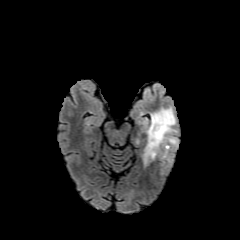
FLAIR MR image.
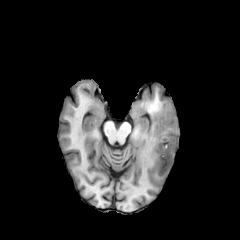
T1-weighted MR image of the same slice.
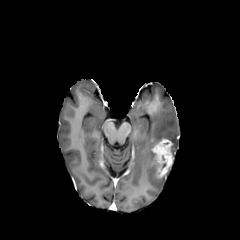
Post-contrast T1-weighted MR.
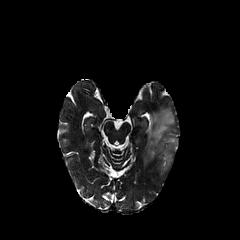
T2-weighted MR image.
Brain; Axial slice
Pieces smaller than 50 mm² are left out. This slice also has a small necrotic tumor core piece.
peritumoral edema at [143, 107, 178, 165]
enhancing tumor at [152, 139, 173, 176]